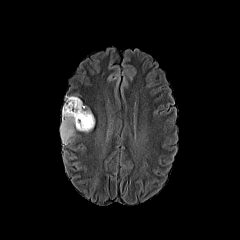
FLAIR MR.
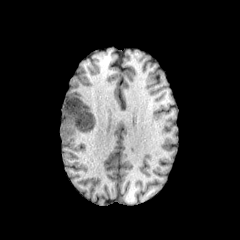
T1-weighted MRI of the same slice.
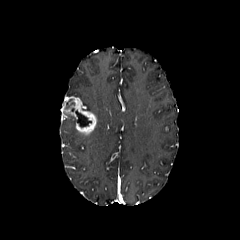
Post-contrast T1-weighted MR.
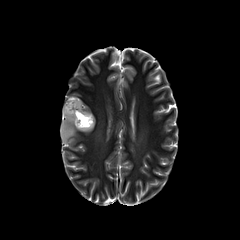
T2-weighted MRI of the same slice.
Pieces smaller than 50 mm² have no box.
necrotic tumor core: 75:111:91:127 | peritumoral edema: 61:112:76:144 | enhancing tumor: 61:96:96:134